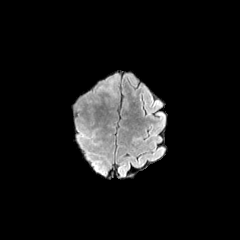
FLAIR MR image.
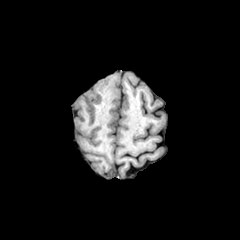
Same slice, T1-weighted MRI.
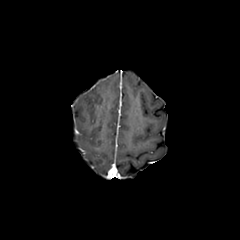
Post-contrast T1-weighted MRI.
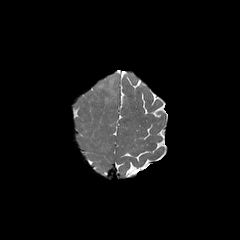
T2-weighted MR image.
Brain; Axial view
{"peritumoral_edema": ["left=98, top=75, right=118, bottom=96"]}